Brain, Slice 71 of 155, Image covers 240 mm x 240 mm
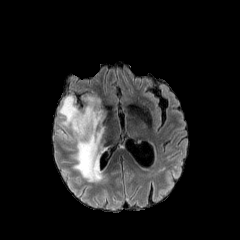
FLAIR MR.
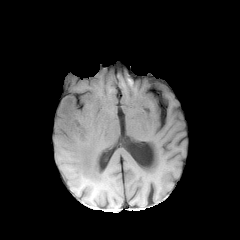
T1-weighted MR image of the same slice.
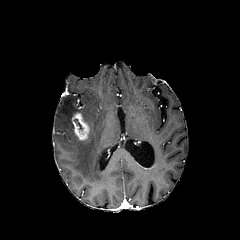
Same slice, post-contrast T1-weighted MR image.
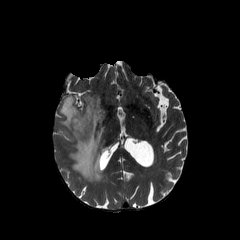
T2-weighted MR of the same slice.
{"necrotic_tumor_core": ["left=75, top=119, right=83, bottom=130"], "peritumoral_edema": ["left=59, top=95, right=106, bottom=181"], "enhancing_tumor": ["left=72, top=112, right=91, bottom=141"]}